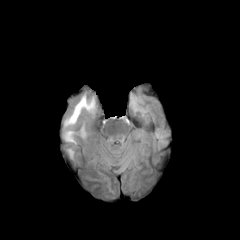
FLAIR MR.
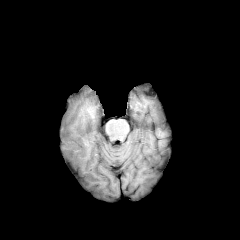
T1-weighted MR image.
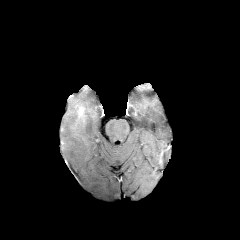
Post-contrast T1-weighted MR image.
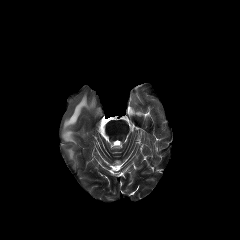
T2-weighted MR image.
Brain
2 peritumoral edema regions are located at [67, 148, 74, 158], [62, 93, 95, 144].